FLAIR magnetic resonance.
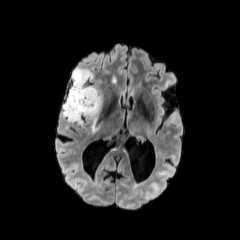
T1-weighted MR.
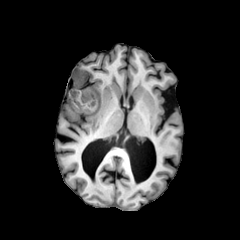
Post-contrast T1-weighted magnetic resonance.
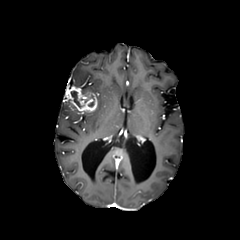
T2-weighted MRI.
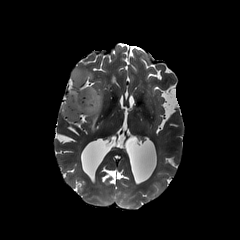
Brain. Axial slice.
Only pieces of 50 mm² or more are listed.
peritumoral edema: bounding box 62,96,100,126; 72,68,97,92
enhancing tumor: bounding box 66,86,98,113
necrotic tumor core: bounding box 71,91,80,107